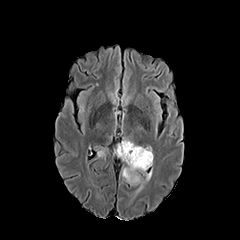
FLAIR MR.
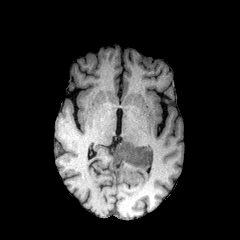
T1-weighted magnetic resonance.
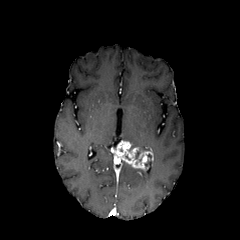
Post-contrast T1-weighted magnetic resonance of the same slice.
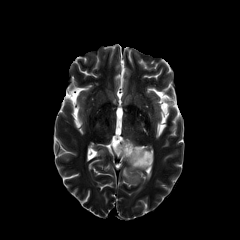
T2-weighted MRI of the same slice.
Brain. Image size 240x240. Axial view.
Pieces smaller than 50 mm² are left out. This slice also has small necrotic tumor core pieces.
The 2 largest peritumoral edema regions are bounded by [x1=97, y1=148, x2=105, y2=156], [x1=122, y1=164, x2=145, y2=191]. The largest enhancing tumor region is located at [x1=112, y1=140, x2=153, y2=170].